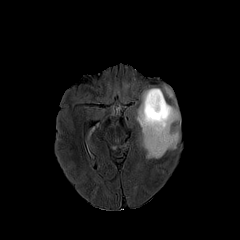
FLAIR MRI.
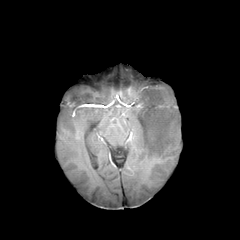
T1-weighted MR image.
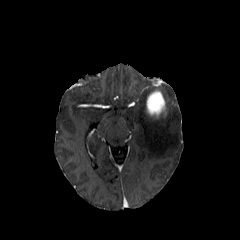
Post-contrast T1-weighted MRI.
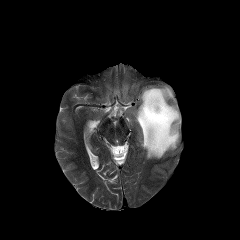
T2-weighted MR image of the same slice.
Axial view
peritumoral_edema:
  - (left=134, top=85, right=180, bottom=158)
enhancing_tumor:
  - (left=146, top=90, right=166, bottom=117)